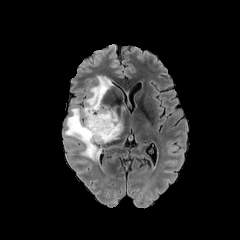
FLAIR MR.
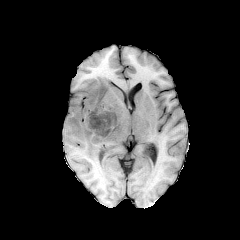
Same slice, T1-weighted magnetic resonance.
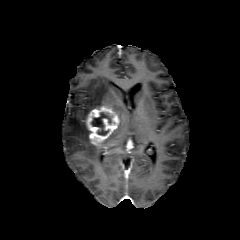
Same slice, post-contrast T1-weighted MRI.
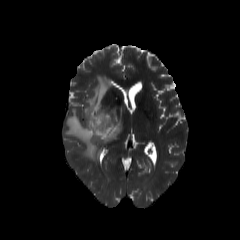
T2-weighted MR image of the same slice.
Head, 240x240
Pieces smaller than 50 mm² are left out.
necrotic tumor core at box(91, 112, 110, 135)
peritumoral edema at box(102, 118, 123, 144); box(64, 75, 112, 161)
enhancing tumor at box(86, 105, 119, 145)